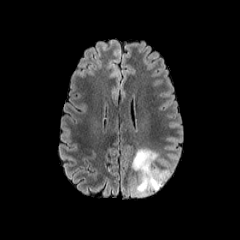
FLAIR MRI.
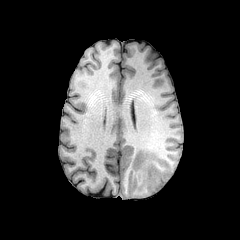
Same slice, T1-weighted MRI.
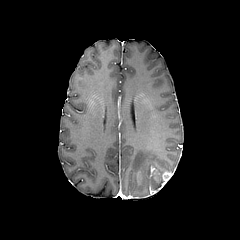
Same slice, post-contrast T1-weighted MRI.
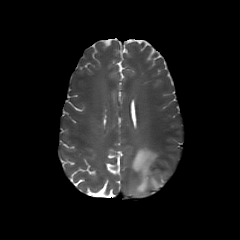
T2-weighted magnetic resonance.
Image size 240x240; Axial plane
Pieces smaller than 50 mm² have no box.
* enhancing tumor: x1=162 y1=171 x2=171 y2=184
* peritumoral edema: x1=132 y1=148 x2=172 y2=196